240x240 px | Head | Image covers 240 mm x 240 mm | Axial plane
FLAIR MR image.
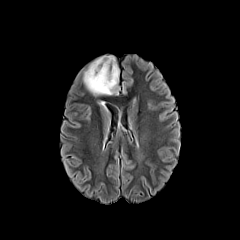
T1-weighted MR image.
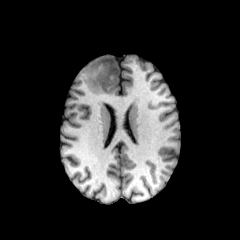
Post-contrast T1-weighted MR image.
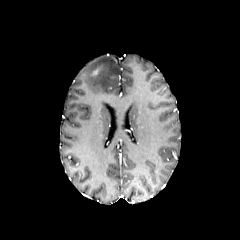
T2-weighted MR.
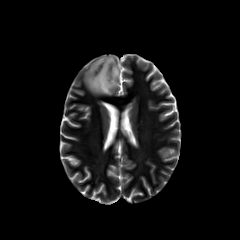
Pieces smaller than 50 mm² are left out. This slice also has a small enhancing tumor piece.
peritumoral edema — x1=83, y1=56, x2=119, y2=95